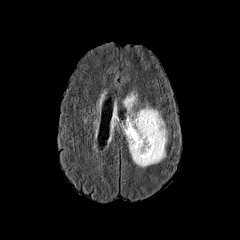
FLAIR MRI.
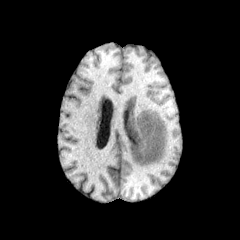
T1-weighted MR of the same slice.
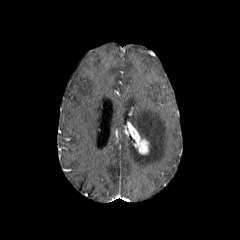
Post-contrast T1-weighted MR of the same slice.
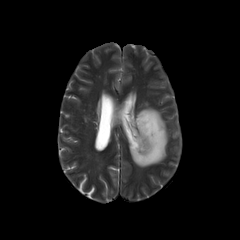
T2-weighted MR.
Axial view. Brain. 240x240.
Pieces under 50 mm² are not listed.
peritumoral edema — {"x1": 111, "y1": 115, "x2": 118, "y2": 131}, {"x1": 124, "y1": 94, "x2": 135, "y2": 110}, {"x1": 127, "y1": 106, "x2": 167, "y2": 167}
enhancing tumor — {"x1": 124, "y1": 122, "x2": 149, "y2": 154}